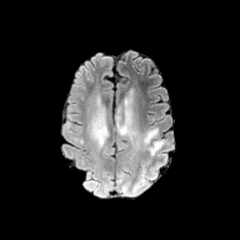
FLAIR magnetic resonance.
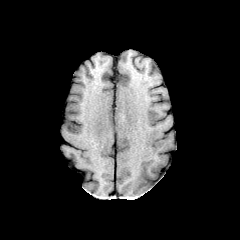
T1-weighted magnetic resonance of the same slice.
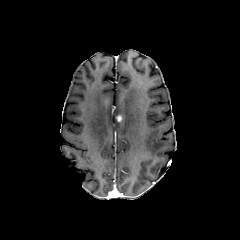
Post-contrast T1-weighted MR image.
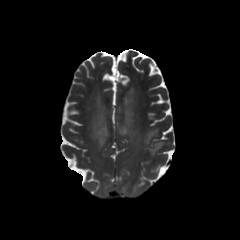
T2-weighted MRI of the same slice.
Axial plane
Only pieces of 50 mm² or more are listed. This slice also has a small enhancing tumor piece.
4 peritumoral edema regions are bounded by left=91, top=93, right=108, bottom=147; left=144, top=128, right=158, bottom=144; left=150, top=142, right=161, bottom=154; left=117, top=94, right=136, bottom=139.